FLAIR MR.
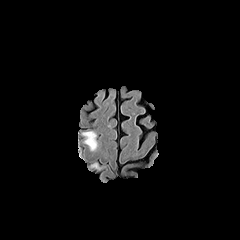
T1-weighted magnetic resonance.
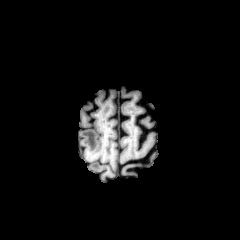
Post-contrast T1-weighted MR.
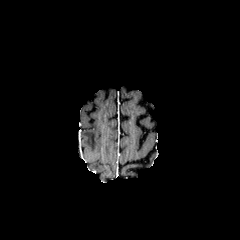
T2-weighted MRI.
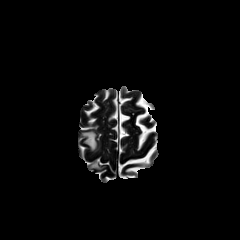
Brain, Image size 240x240
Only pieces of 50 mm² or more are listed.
{"peritumoral_edema": ["x1=82, y1=131, x2=97, y2=150"]}